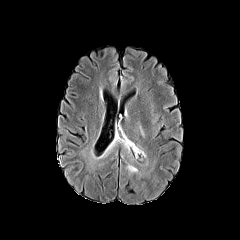
FLAIR MR.
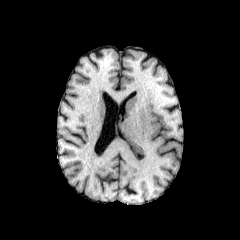
Same slice, T1-weighted MR image.
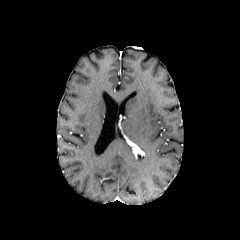
Post-contrast T1-weighted magnetic resonance.
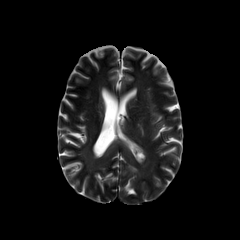
Same slice, T2-weighted MRI.
Image size 240x240, Brain, Axial slice
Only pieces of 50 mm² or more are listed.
<segmentation>
  <peritumoral_edema>[122, 139, 129, 151]</peritumoral_edema>
</segmentation>